FLAIR MRI.
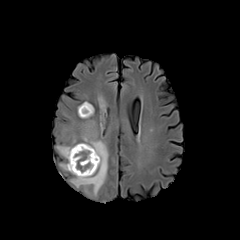
T1-weighted MRI.
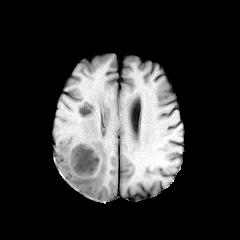
Post-contrast T1-weighted MRI.
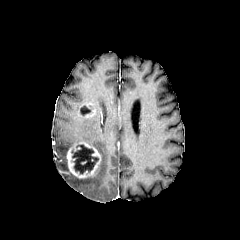
T2-weighted magnetic resonance.
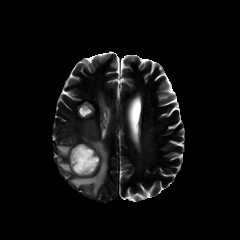
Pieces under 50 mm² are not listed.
peritumoral edema — 59 162 69 171, 70 120 108 196, 56 136 78 157
enhancing tumor — 66 142 100 178, 78 103 91 116
necrotic tumor core — 71 144 98 173, 80 105 92 116